Axial slice, Slice 95 of 155, Image size 240x240, Brain
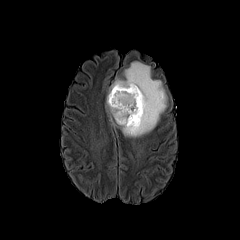
FLAIR MRI.
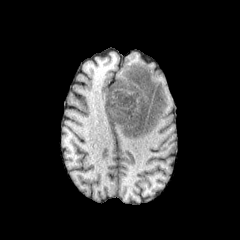
T1-weighted MRI.
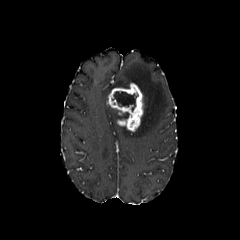
Post-contrast T1-weighted MRI of the same slice.
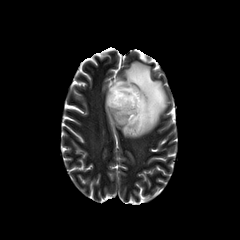
Same slice, T2-weighted MRI.
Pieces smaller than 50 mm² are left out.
<segmentation>
  <necrotic_tumor_core>box=[113, 91, 138, 111]; box=[119, 112, 129, 119]</necrotic_tumor_core>
  <enhancing_tumor>box=[107, 83, 143, 131]</enhancing_tumor>
  <peritumoral_edema>box=[108, 60, 168, 137]; box=[106, 105, 118, 121]</peritumoral_edema>
</segmentation>